Head. Axial view. Slice 103/155.
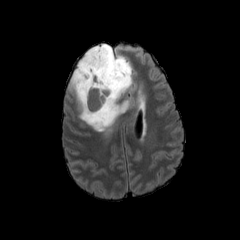
FLAIR MR.
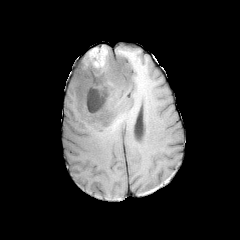
T1-weighted magnetic resonance of the same slice.
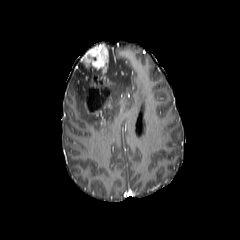
Same slice, post-contrast T1-weighted MR.
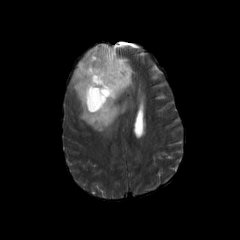
T2-weighted MR of the same slice.
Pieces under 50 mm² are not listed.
peritumoral edema — 68:44:132:133
necrotic tumor core — 87:88:109:111
enhancing tumor — 81:44:108:80, 104:79:115:87, 85:102:108:125